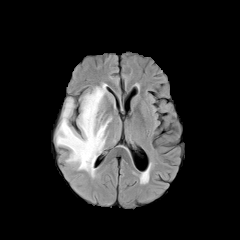
FLAIR MRI.
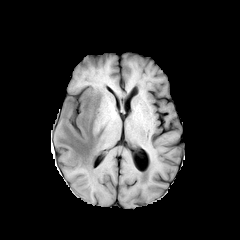
T1-weighted magnetic resonance.
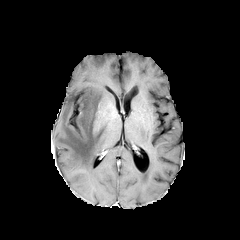
Post-contrast T1-weighted magnetic resonance.
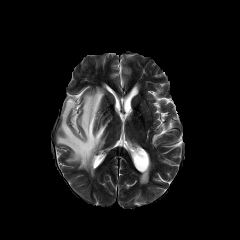
T2-weighted MRI of the same slice.
240x240 px. Head.
• peritumoral edema: x1=56, y1=84, x2=111, y2=177